Head | Slice 108 of 155 | 240x240
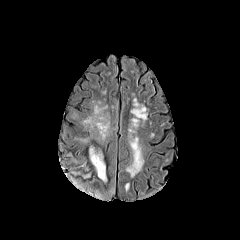
FLAIR magnetic resonance.
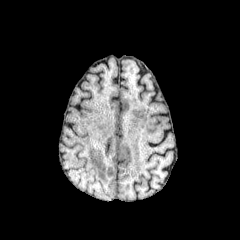
T1-weighted magnetic resonance.
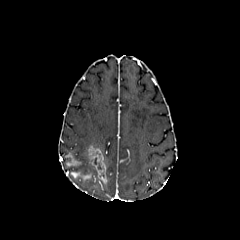
Post-contrast T1-weighted magnetic resonance.
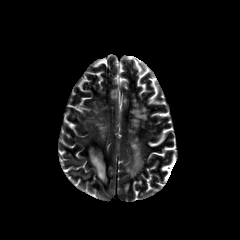
T2-weighted MRI.
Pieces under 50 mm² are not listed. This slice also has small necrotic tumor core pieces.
Findings:
- enhancing tumor: 67, 153, 81, 165; 87, 145, 106, 183